FLAIR magnetic resonance.
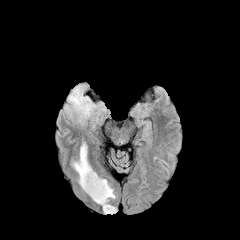
T1-weighted MR image.
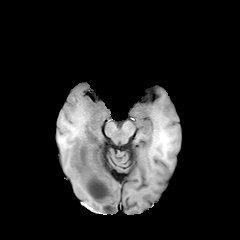
Post-contrast T1-weighted MR image.
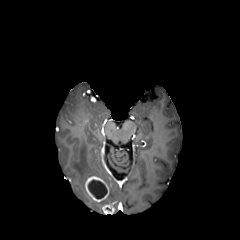
T2-weighted MR image.
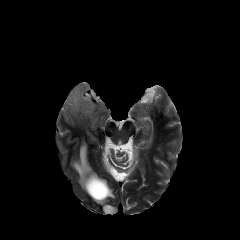
Axial view.
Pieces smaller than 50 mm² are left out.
Findings:
- necrotic tumor core: <bbox>88, 180, 107, 198</bbox>
- enhancing tumor: <bbox>85, 176, 109, 202</bbox>, <bbox>102, 204, 114, 214</bbox>
- peritumoral edema: <bbox>71, 142, 97, 191</bbox>, <bbox>96, 184, 115, 207</bbox>, <bbox>66, 86, 95, 126</bbox>